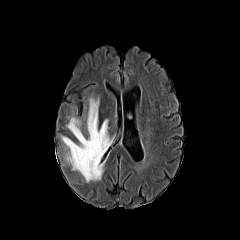
FLAIR MRI.
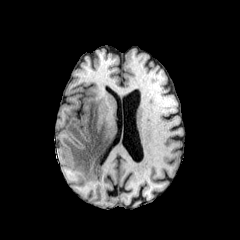
T1-weighted MR.
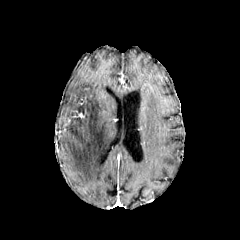
Post-contrast T1-weighted magnetic resonance.
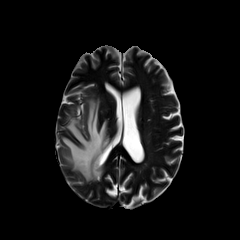
T2-weighted MR.
Brain
peritumoral_edema:
  - left=61, top=98, right=112, bottom=182